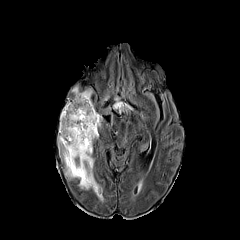
FLAIR magnetic resonance.
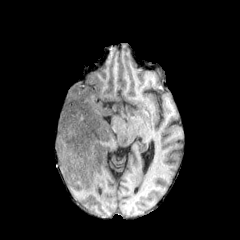
T1-weighted MRI of the same slice.
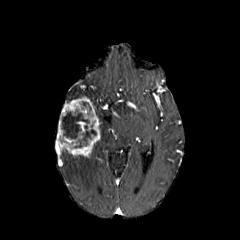
Post-contrast T1-weighted MRI.
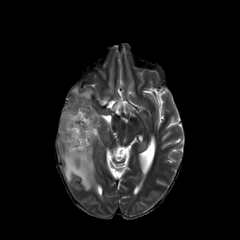
Same slice, T2-weighted MRI.
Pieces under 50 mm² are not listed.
{"peritumoral_edema": ["<box>59,150,98,195</box>", "<box>72,86,92,99</box>"], "necrotic_tumor_core": ["<box>62,110,89,138</box>", "<box>74,125,96,147</box>"], "enhancing_tumor": ["<box>57,96,100,157</box>"]}